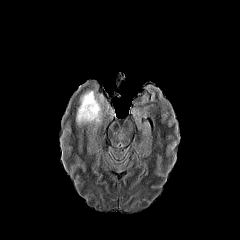
FLAIR magnetic resonance.
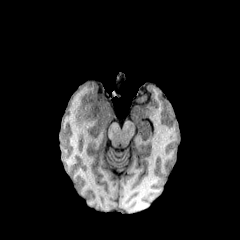
T1-weighted MR of the same slice.
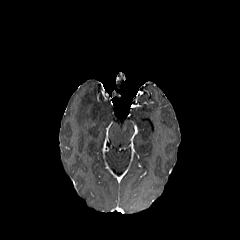
Post-contrast T1-weighted magnetic resonance.
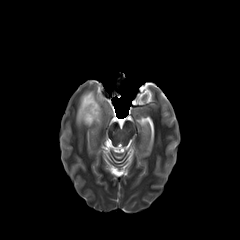
T2-weighted magnetic resonance.
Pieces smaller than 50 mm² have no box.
The largest peritumoral edema region is at [x1=76, y1=90, x2=101, y2=126].